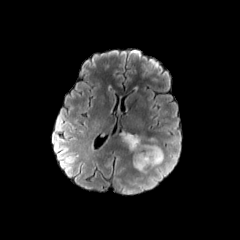
FLAIR MR image.
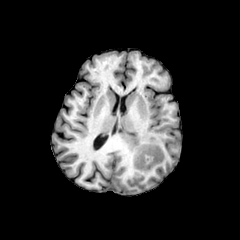
Same slice, T1-weighted MRI.
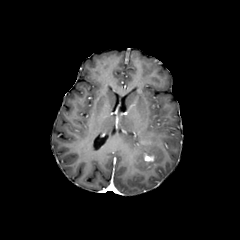
Post-contrast T1-weighted MR image.
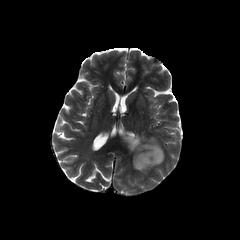
T2-weighted MR.
240x240, Axial view
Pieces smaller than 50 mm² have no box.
The largest peritumoral edema region is located at bbox=[121, 132, 163, 171]. The enhancing tumor appears at bbox=[144, 155, 153, 161].